Slice 125/155, Image covers 240 mm x 240 mm
FLAIR magnetic resonance.
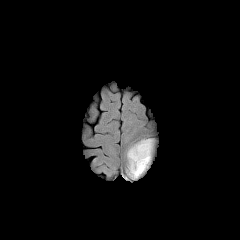
T1-weighted MRI.
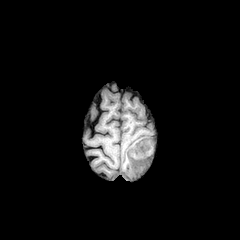
Post-contrast T1-weighted MR.
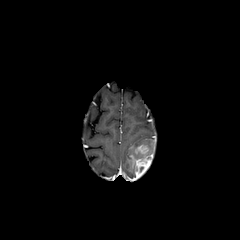
T2-weighted MRI.
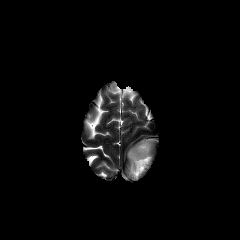
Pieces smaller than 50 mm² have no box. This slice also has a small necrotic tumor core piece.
peritumoral_edema:
  - [127,139,151,179]
enhancing_tumor:
  - [130,145,152,179]